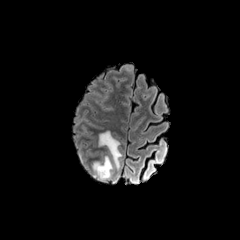
FLAIR magnetic resonance.
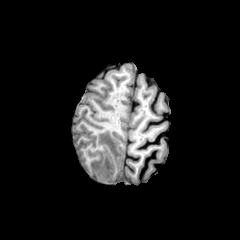
T1-weighted MR image of the same slice.
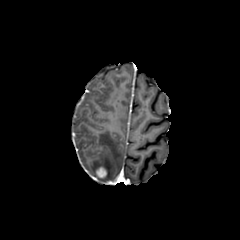
Post-contrast T1-weighted MRI.
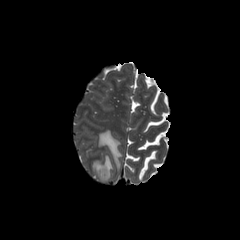
T2-weighted MR image of the same slice.
Image size 240x240
<segmentation>
  <enhancing_tumor>96, 166, 107, 178</enhancing_tumor>
  <peritumoral_edema>92, 155, 113, 181; 98, 130, 122, 168</peritumoral_edema>
</segmentation>